Image width 240 mm, 1.00 mm slice spacing.
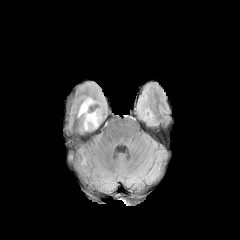
FLAIR MR image.
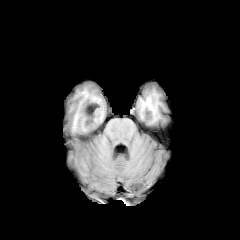
T1-weighted magnetic resonance.
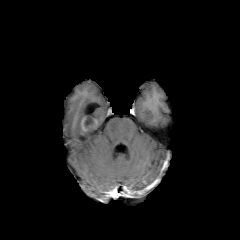
Post-contrast T1-weighted magnetic resonance.
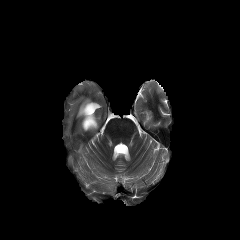
T2-weighted MR image.
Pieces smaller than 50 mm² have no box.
The 2 largest peritumoral edema regions appear at [92,111,100,124], [78,98,93,116]. The enhancing tumor is at [80,114,98,132]. The necrotic tumor core is at [84,118,93,127].